FLAIR magnetic resonance.
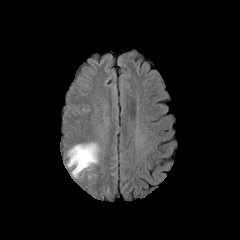
T1-weighted MRI.
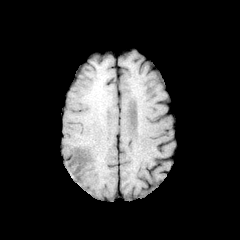
Post-contrast T1-weighted MRI.
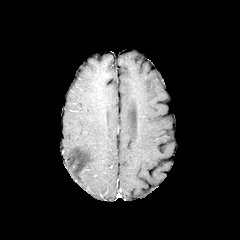
T2-weighted MRI.
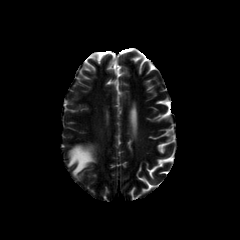
Axial slice
peritumoral edema: 67:143:98:177